Slice 85 of 155 | Image size 240x240
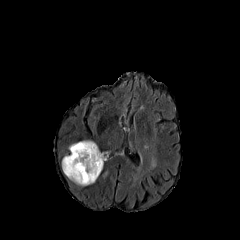
FLAIR MRI.
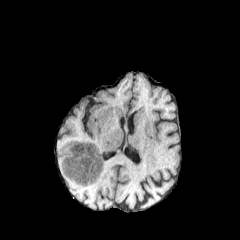
T1-weighted magnetic resonance.
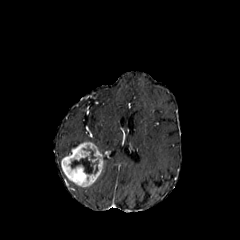
Post-contrast T1-weighted MR image of the same slice.
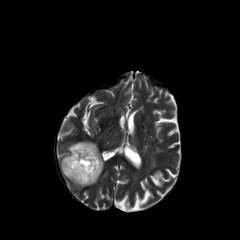
T2-weighted MR image of the same slice.
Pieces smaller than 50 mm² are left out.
{
  "necrotic_tumor_core": [
    "(70, 157, 97, 173)"
  ],
  "peritumoral_edema": [
    "(68, 140, 93, 151)"
  ],
  "enhancing_tumor": [
    "(61, 142, 103, 186)"
  ]
}